Image size 240x240 | Axial slice | Brain
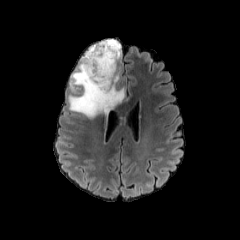
FLAIR MR image.
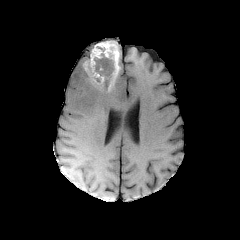
T1-weighted MR image.
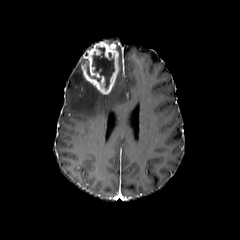
Post-contrast T1-weighted MR image of the same slice.
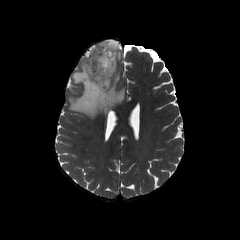
T2-weighted magnetic resonance.
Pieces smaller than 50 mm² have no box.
The enhancing tumor lies within left=81, top=41, right=118, bottom=94. The 2 largest necrotic tumor core regions are bounded by left=92, top=45, right=114, bottom=88; left=84, top=59, right=90, bottom=76. The largest peritumoral edema region lies within left=68, top=39, right=125, bottom=118.